FLAIR MRI.
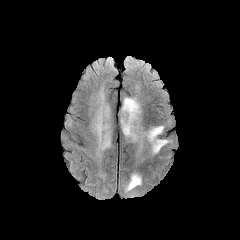
T1-weighted MR.
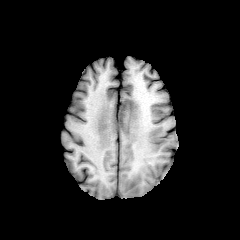
Post-contrast T1-weighted MRI.
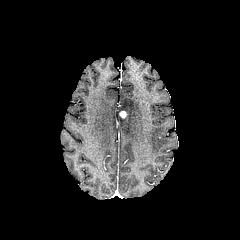
T2-weighted MR image.
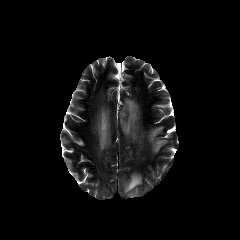
Head, Axial view
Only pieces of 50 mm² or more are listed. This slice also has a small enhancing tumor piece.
4 peritumoral edema regions are bounded by x1=125, y1=173, x2=141, y2=197; x1=147, y1=126, x2=168, y2=153; x1=120, y1=98, x2=140, y2=140; x1=95, y1=106, x2=110, y2=149.